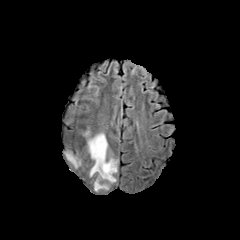
FLAIR MR.
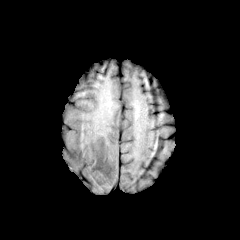
Same slice, T1-weighted MR.
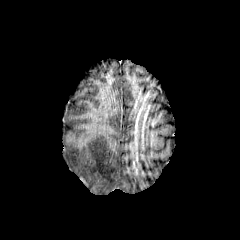
Post-contrast T1-weighted magnetic resonance.
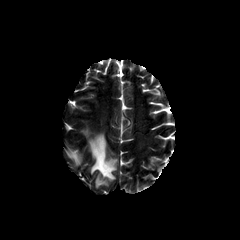
T2-weighted MR image.
Axial slice
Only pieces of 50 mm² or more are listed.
peritumoral edema — rect(65, 151, 80, 167); rect(88, 133, 117, 190)